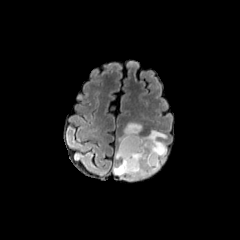
FLAIR magnetic resonance.
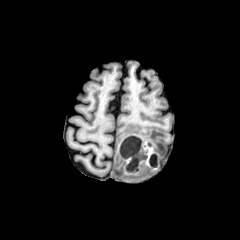
T1-weighted magnetic resonance.
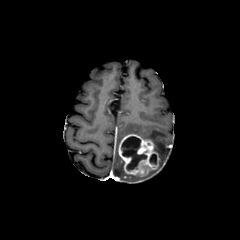
Same slice, post-contrast T1-weighted magnetic resonance.
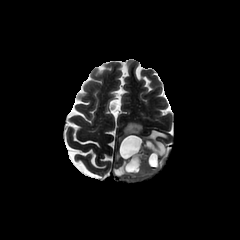
T2-weighted MRI.
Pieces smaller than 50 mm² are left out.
- peritumoral edema: x1=113 y1=122 x2=166 y2=180
- enhancing tumor: x1=118 y1=134 x2=159 y2=176
- necrotic tumor core: x1=121 y1=136 x2=147 y2=170, x1=149 y1=154 x2=156 y2=164